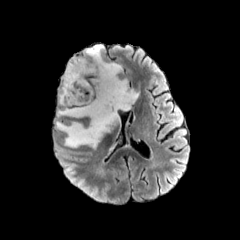
FLAIR MRI.
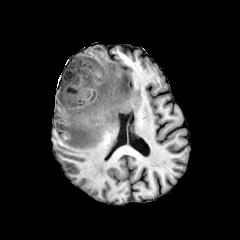
T1-weighted MR of the same slice.
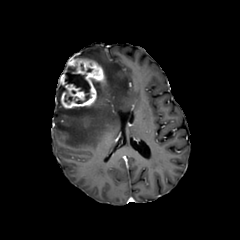
Post-contrast T1-weighted MR image.
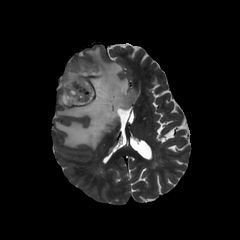
T2-weighted MR.
Axial view; Head
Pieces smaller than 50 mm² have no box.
enhancing tumor — rect(60, 57, 106, 108)
peritumoral edema — rect(56, 45, 139, 148)
necrotic tumor core — rect(65, 66, 90, 100)